Brain. Image covers 240 mm x 240 mm.
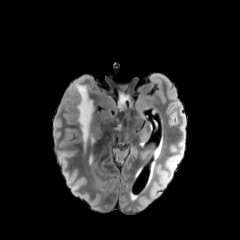
FLAIR MRI.
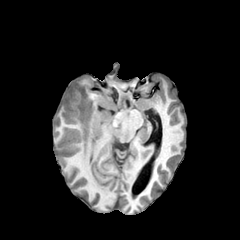
T1-weighted magnetic resonance.
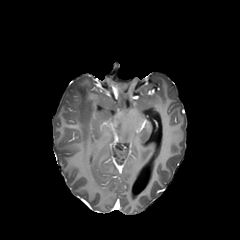
Post-contrast T1-weighted magnetic resonance of the same slice.
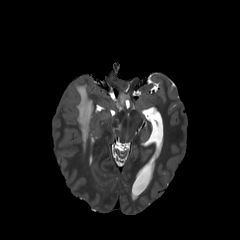
T2-weighted MR.
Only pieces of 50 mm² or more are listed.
peritumoral edema — x1=118 y1=94 x2=129 y2=110, x1=71 y1=81 x2=93 y2=143